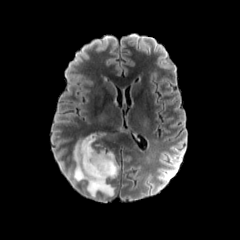
FLAIR MRI.
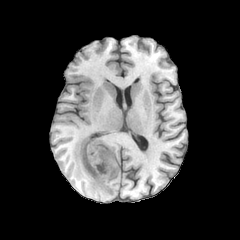
T1-weighted MRI of the same slice.
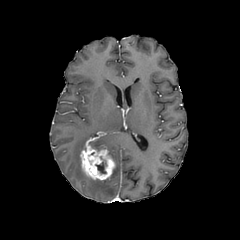
Post-contrast T1-weighted MRI of the same slice.
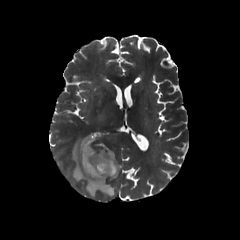
T2-weighted MR image of the same slice.
Axial plane
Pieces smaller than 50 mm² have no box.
<segmentation>
  <enhancing_tumor>box=[80, 137, 115, 180]</enhancing_tumor>
  <necrotic_tumor_core>box=[96, 161, 106, 173]</necrotic_tumor_core>
  <peritumoral_edema>box=[73, 134, 114, 197]; box=[109, 151, 118, 177]</peritumoral_edema>
</segmentation>